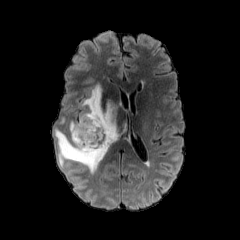
FLAIR MRI.
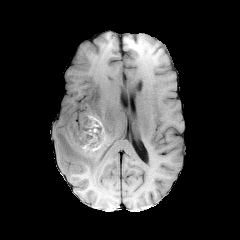
T1-weighted MR image.
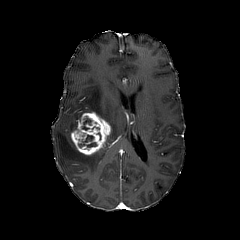
Post-contrast T1-weighted MRI.
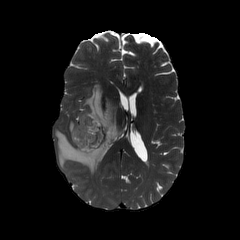
T2-weighted MRI.
Axial view
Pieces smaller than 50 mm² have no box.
necrotic tumor core at (75,133,93,147), (85,142,96,151), (82,116,91,130)
peritumoral edema at (69,121,77,138), (54,83,119,173)
enhancing tumor at (71,112,111,155)